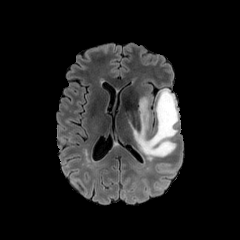
FLAIR MR image.
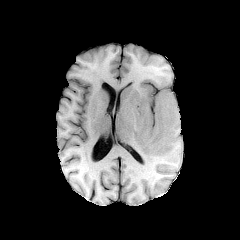
T1-weighted MR.
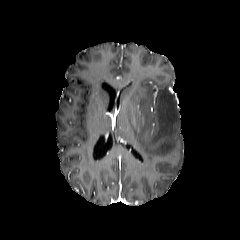
Post-contrast T1-weighted magnetic resonance.
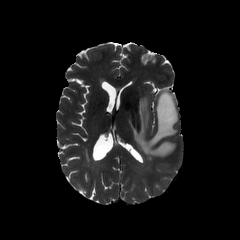
T2-weighted MR image.
Brain.
Findings:
• peritumoral edema: 131, 88, 178, 160